FLAIR MR.
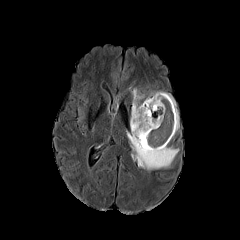
T1-weighted MR image.
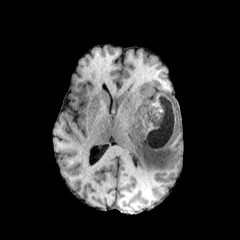
Post-contrast T1-weighted MR.
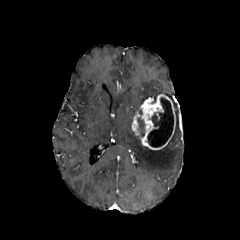
T2-weighted MR.
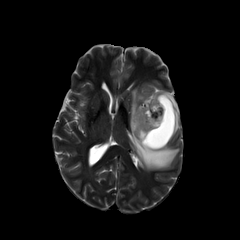
Axial slice.
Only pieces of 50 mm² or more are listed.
The necrotic tumor core is at {"x1": 147, "y1": 97, "x2": 173, "y2": 147}. The enhancing tumor is located at {"x1": 131, "y1": 94, "x2": 175, "y2": 150}. The 4 largest peritumoral edema regions are located at {"x1": 138, "y1": 118, "x2": 144, "y2": 136}, {"x1": 126, "y1": 129, "x2": 179, "y2": 170}, {"x1": 130, "y1": 88, "x2": 145, "y2": 127}, {"x1": 146, "y1": 91, "x2": 178, "y2": 136}.